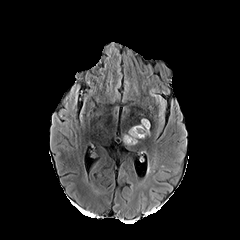
FLAIR MR.
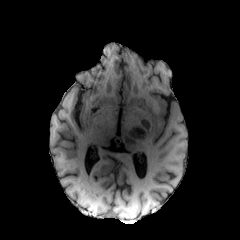
T1-weighted magnetic resonance.
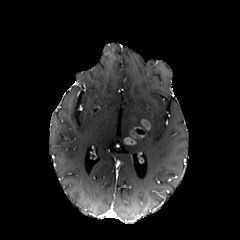
Post-contrast T1-weighted magnetic resonance of the same slice.
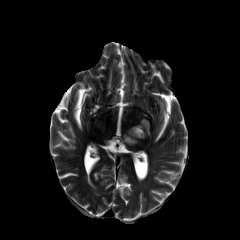
Same slice, T2-weighted MR.
240x240 px.
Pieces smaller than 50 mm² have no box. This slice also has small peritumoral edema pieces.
Segmented structures:
• enhancing tumor: region(141, 119, 150, 130); region(124, 126, 144, 144)
• necrotic tumor core: region(135, 126, 146, 134)